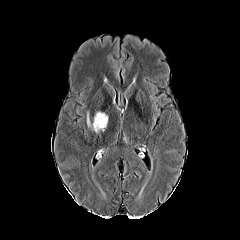
FLAIR MR image.
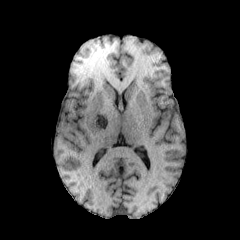
T1-weighted MR.
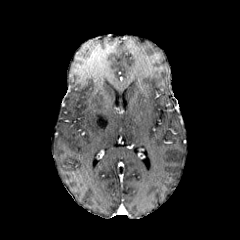
Post-contrast T1-weighted MR image of the same slice.
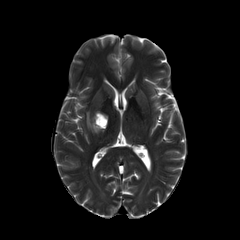
T2-weighted magnetic resonance.
Head. 240x240 px.
peritumoral_edema:
  - (left=87, top=112, right=107, bottom=132)